Slice index 112 | 240x240 px | Axial plane
FLAIR MR.
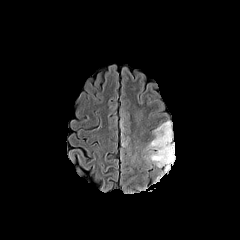
T1-weighted magnetic resonance.
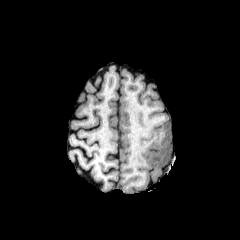
Post-contrast T1-weighted MR.
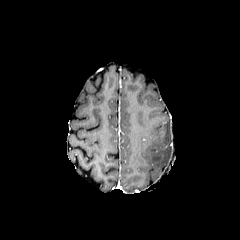
T2-weighted magnetic resonance.
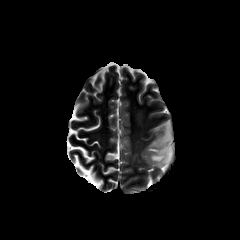
peritumoral edema at l=145, t=120, r=174, b=173; l=120, t=112, r=131, b=146